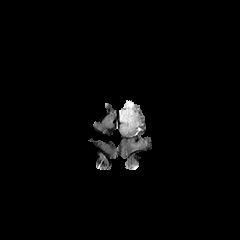
FLAIR magnetic resonance.
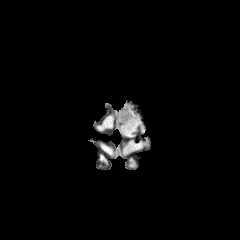
T1-weighted MRI of the same slice.
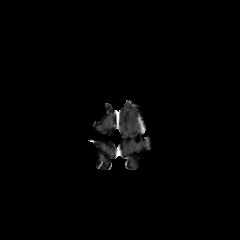
Same slice, post-contrast T1-weighted MRI.
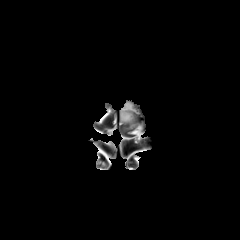
Same slice, T2-weighted MR image.
Head
{"peritumoral_edema": ["120:102:137:131"]}